Axial plane | Brain | Slice 77/155 | Image size 240x240
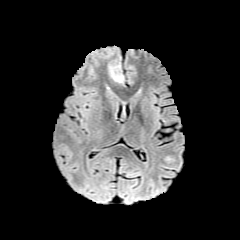
FLAIR MR.
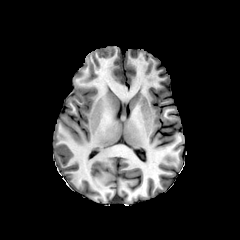
T1-weighted MR.
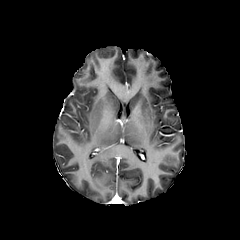
Post-contrast T1-weighted MR of the same slice.
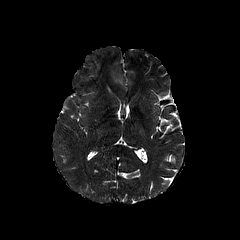
T2-weighted MRI.
{
  "peritumoral_edema": [
    "111, 71, 123, 82"
  ]
}